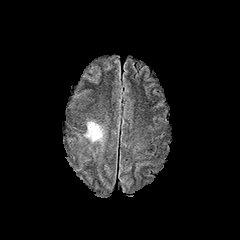
FLAIR magnetic resonance.
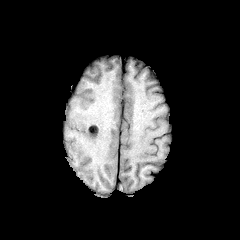
T1-weighted MR of the same slice.
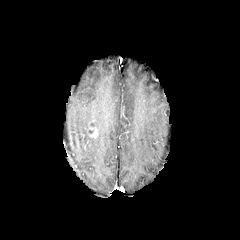
Same slice, post-contrast T1-weighted magnetic resonance.
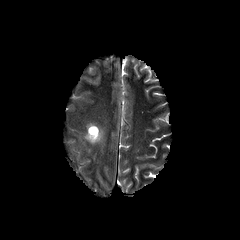
T2-weighted MR image.
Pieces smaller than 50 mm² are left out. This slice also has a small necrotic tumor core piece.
peritumoral edema — 86:122:102:142
enhancing tumor — 87:127:97:137